FLAIR MR.
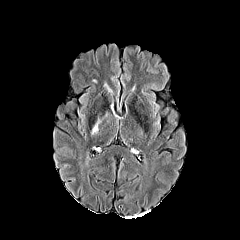
T1-weighted MR.
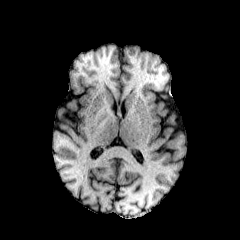
Post-contrast T1-weighted MR image.
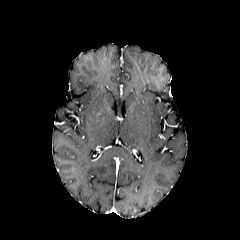
T2-weighted MR.
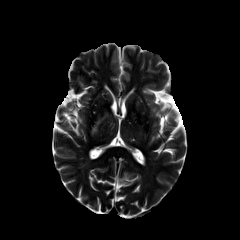
Axial view, 240x240 px
Findings:
- peritumoral edema: (left=91, top=120, right=100, bottom=134)